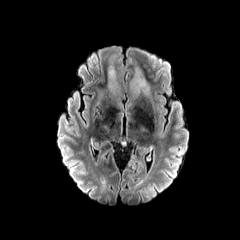
FLAIR magnetic resonance.
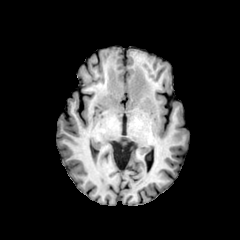
T1-weighted MRI.
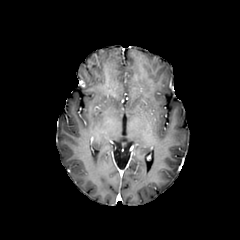
Same slice, post-contrast T1-weighted MR image.
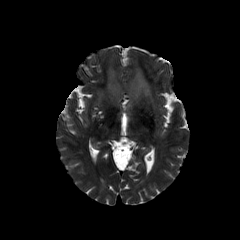
T2-weighted MR image.
Brain, Axial slice, Image size 240x240
peritumoral edema — x1=131 y1=69 x2=151 y2=97, x1=108 y1=67 x2=119 y2=94